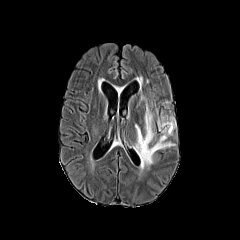
FLAIR MR.
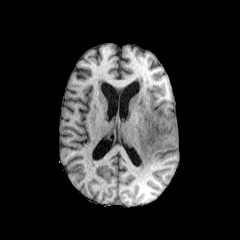
T1-weighted MRI.
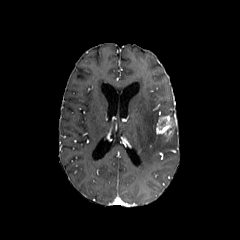
Post-contrast T1-weighted MR image.
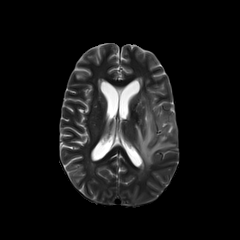
T2-weighted MR.
Axial view. Head.
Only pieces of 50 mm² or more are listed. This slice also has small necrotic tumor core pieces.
{"enhancing_tumor": ["(157,115,176,138)"], "peritumoral_edema": ["(135,96,175,169)"]}